Brain; Axial plane
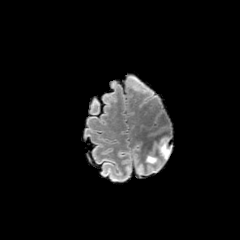
FLAIR magnetic resonance.
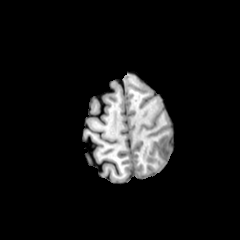
T1-weighted MR image.
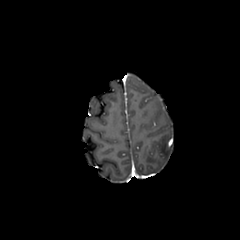
Post-contrast T1-weighted MR.
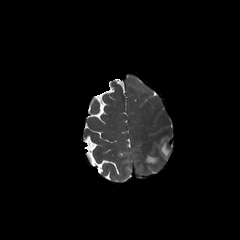
Same slice, T2-weighted MR.
peritumoral edema = {"x1": 159, "y1": 138, "x2": 170, "y2": 159}, {"x1": 146, "y1": 155, "x2": 157, "y2": 163}